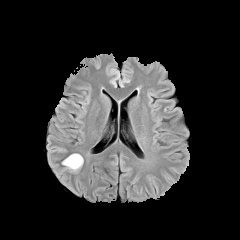
FLAIR MR.
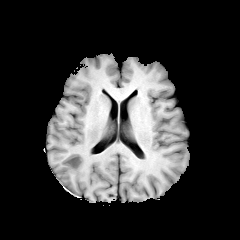
T1-weighted MR image.
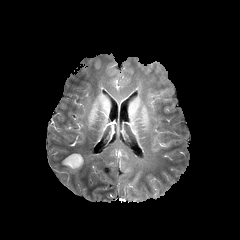
Same slice, post-contrast T1-weighted magnetic resonance.
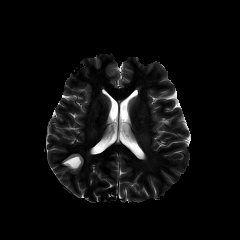
Same slice, T2-weighted MRI.
Brain, 240x240, Axial view
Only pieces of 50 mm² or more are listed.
The enhancing tumor is at 64, 154, 82, 168. The largest peritumoral edema region is bounded by 61, 158, 83, 173.